Brain | Axial slice | Slice 104/155
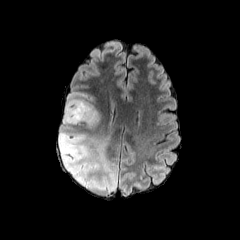
FLAIR MR image.
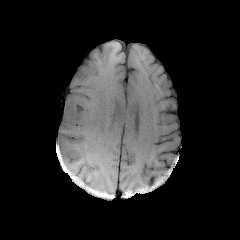
Same slice, T1-weighted MRI.
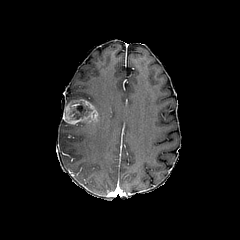
Same slice, post-contrast T1-weighted magnetic resonance.
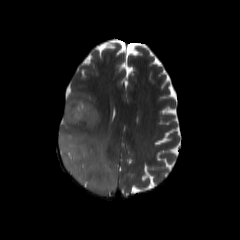
T2-weighted MRI of the same slice.
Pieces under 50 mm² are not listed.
Segmented structures:
- necrotic tumor core: box=[70, 103, 92, 119]
- peritumoral edema: box=[76, 111, 100, 126]; box=[58, 120, 118, 196]; box=[66, 92, 94, 106]
- enhancing tumor: box=[63, 98, 98, 124]